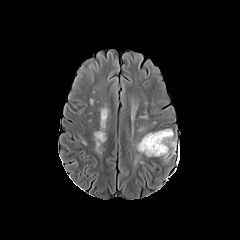
FLAIR magnetic resonance.
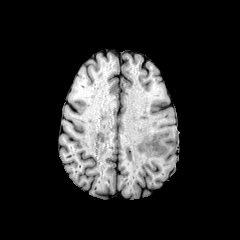
T1-weighted MR image of the same slice.
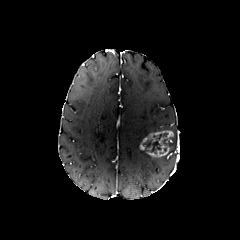
Post-contrast T1-weighted MR.
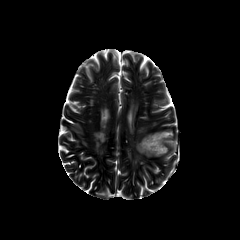
T2-weighted MR of the same slice.
240x240. Brain. Axial slice.
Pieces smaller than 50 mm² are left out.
necrotic_tumor_core:
  - (left=143, top=139, right=160, bottom=152)
peritumoral_edema:
  - (left=136, top=139, right=150, bottom=156)
  - (left=163, top=137, right=176, bottom=158)
enhancing_tumor:
  - (left=140, top=130, right=173, bottom=157)